Image width 240 mm, Image size 240x240, Brain, Slice 63/155
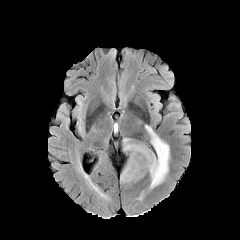
FLAIR magnetic resonance.
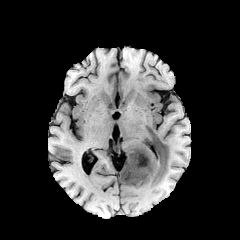
Same slice, T1-weighted MR image.
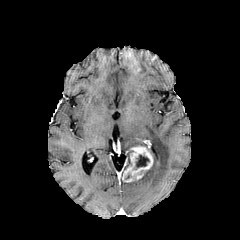
Post-contrast T1-weighted magnetic resonance.
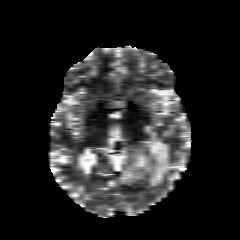
T2-weighted MR of the same slice.
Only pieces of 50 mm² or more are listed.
The largest enhancing tumor region is bounded by {"x1": 123, "y1": 140, "x2": 153, "y2": 182}. The largest necrotic tumor core region is located at {"x1": 136, "y1": 155, "x2": 149, "y2": 167}. The 2 largest peritumoral edema regions appear at {"x1": 120, "y1": 138, "x2": 138, "y2": 186}, {"x1": 133, "y1": 125, "x2": 169, "y2": 188}.